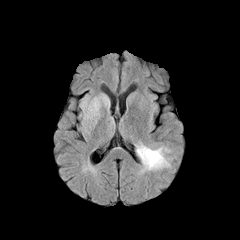
FLAIR MR.
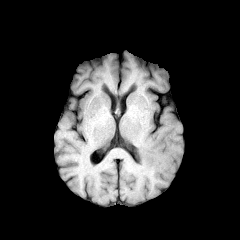
T1-weighted MR.
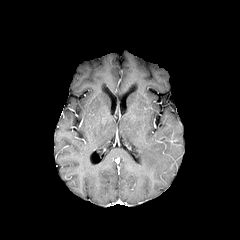
Post-contrast T1-weighted MRI.
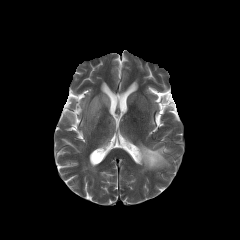
T2-weighted MR of the same slice.
Brain
Segmented structures:
• peritumoral edema: (left=82, top=94, right=108, bottom=138), (left=136, top=143, right=170, bottom=170)